Image covers 240 mm x 240 mm, Axial view, Brain, Slice 95 of 155
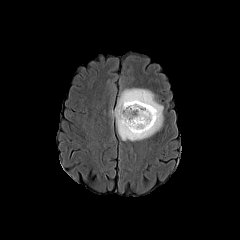
FLAIR MR image.
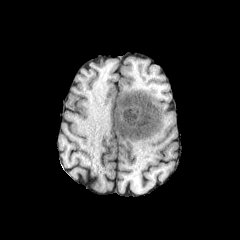
T1-weighted MRI of the same slice.
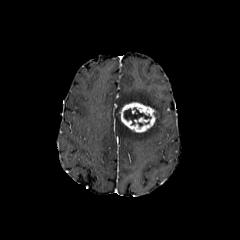
Post-contrast T1-weighted magnetic resonance of the same slice.
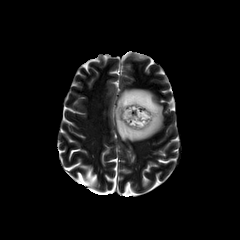
T2-weighted magnetic resonance of the same slice.
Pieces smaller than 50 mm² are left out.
enhancing_tumor:
  - (119, 102, 155, 132)
necrotic_tumor_core:
  - (124, 107, 150, 124)
peritumoral_edema:
  - (114, 88, 163, 141)